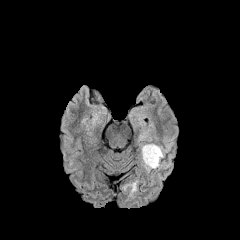
FLAIR magnetic resonance.
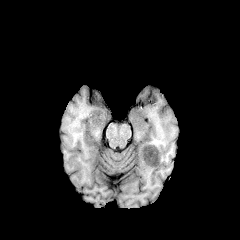
T1-weighted MRI.
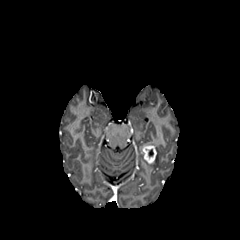
Post-contrast T1-weighted MR.
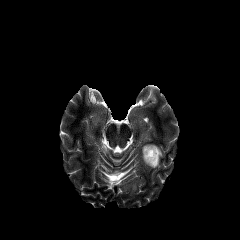
T2-weighted MRI of the same slice.
Axial view. Head. 240x240.
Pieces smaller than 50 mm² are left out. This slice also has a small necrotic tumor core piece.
Findings:
* enhancing tumor: (x1=142, y1=145, x2=156, y2=164)
* peritumoral edema: (x1=141, y1=144, x2=164, y2=171), (x1=124, y1=182, x2=136, y2=195)